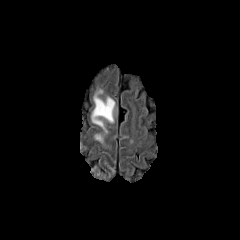
FLAIR MR image.
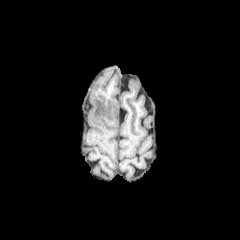
Same slice, T1-weighted MRI.
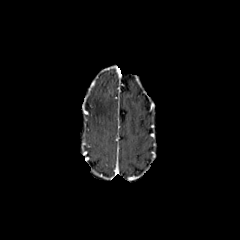
Same slice, post-contrast T1-weighted magnetic resonance.
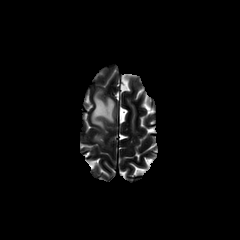
Same slice, T2-weighted MR image.
Head
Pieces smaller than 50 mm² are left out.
The largest peritumoral edema region appears at l=91, t=90, r=115, b=132.